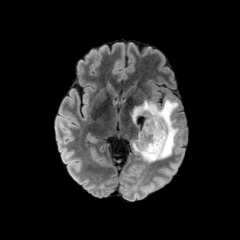
FLAIR magnetic resonance.
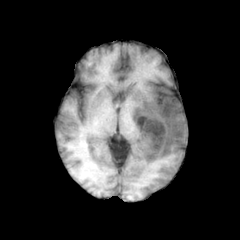
Same slice, T1-weighted MRI.
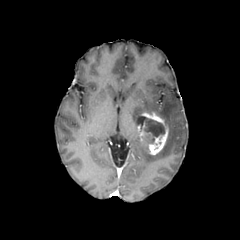
Post-contrast T1-weighted MRI of the same slice.
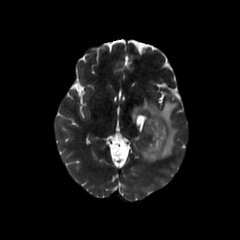
T2-weighted magnetic resonance.
Axial plane, Brain
enhancing tumor at 139,111,168,155
peritumoral edema at 132,99,179,162
necrotic tumor core at 144,119,164,142